240x240; Head
FLAIR MRI.
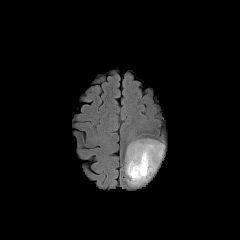
T1-weighted MR.
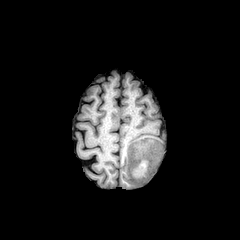
Post-contrast T1-weighted magnetic resonance.
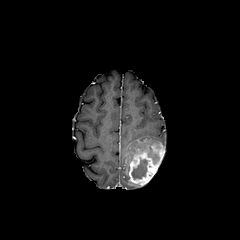
T2-weighted MR.
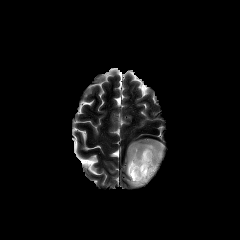
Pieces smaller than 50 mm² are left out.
The enhancing tumor is bounded by rect(126, 143, 164, 185). The peritumoral edema is at rect(125, 139, 160, 186). The largest necrotic tumor core region is at rect(131, 159, 147, 179).